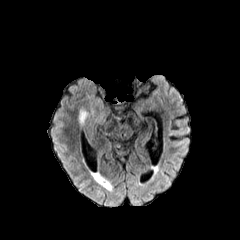
FLAIR magnetic resonance.
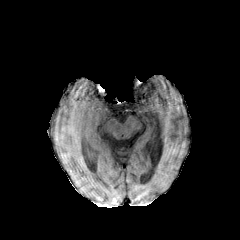
T1-weighted MRI.
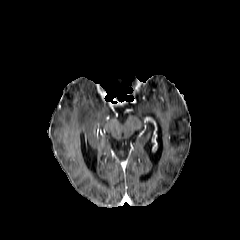
Same slice, post-contrast T1-weighted magnetic resonance.
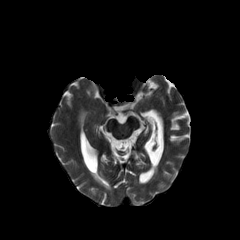
T2-weighted MR.
Head
peritumoral edema: bounding box (x1=79, y1=109, x2=87, y2=124)